FLAIR magnetic resonance.
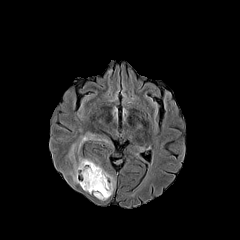
T1-weighted MRI.
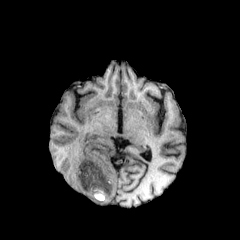
Post-contrast T1-weighted MRI.
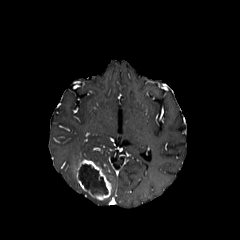
T2-weighted magnetic resonance.
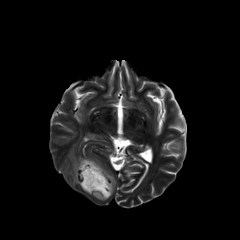
Head
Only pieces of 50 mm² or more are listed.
<segmentation>
  <peritumoral_edema>(left=68, top=131, right=113, bottom=183), (left=102, top=168, right=115, bottom=192)</peritumoral_edema>
  <enhancing_tumor>(left=76, top=159, right=111, bottom=199)</enhancing_tumor>
  <necrotic_tumor_core>(left=78, top=164, right=107, bottom=194)</necrotic_tumor_core>
</segmentation>